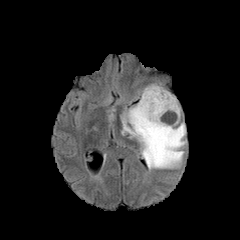
FLAIR MR.
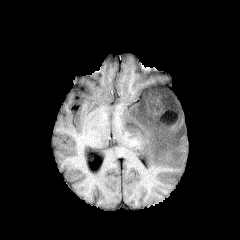
T1-weighted magnetic resonance of the same slice.
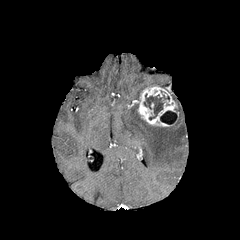
Post-contrast T1-weighted MRI.
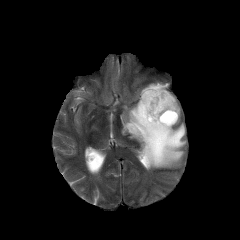
Same slice, T2-weighted MR.
Brain, Axial plane
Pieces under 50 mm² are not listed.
{
  "necrotic_tumor_core": [
    "(144,94,163,119)",
    "(160,111,177,124)"
  ],
  "peritumoral_edema": [
    "(121,94,186,169)"
  ],
  "enhancing_tumor": [
    "(137,85,179,126)"
  ]
}